Head.
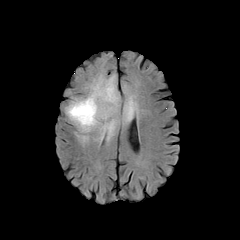
FLAIR magnetic resonance.
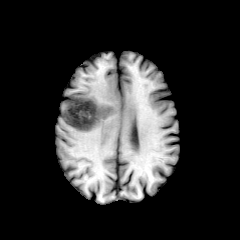
Same slice, T1-weighted MRI.
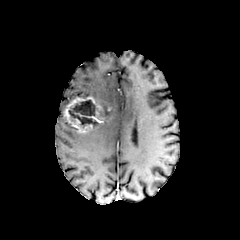
Post-contrast T1-weighted MRI.
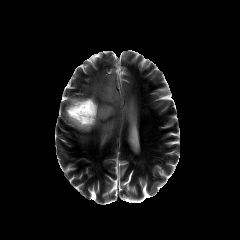
T2-weighted MR.
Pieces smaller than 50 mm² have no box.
enhancing tumor: x1=64, y1=96, x2=103, y2=132
necrotic tumor core: x1=69, y1=100, x2=97, y2=125
peritumoral edema: x1=75, y1=74, x2=138, y2=142